FLAIR MR image.
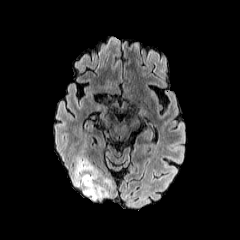
T1-weighted magnetic resonance.
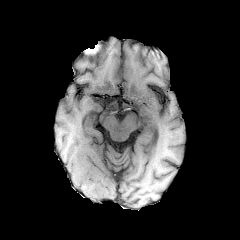
Post-contrast T1-weighted MR image.
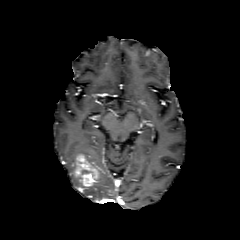
T2-weighted magnetic resonance.
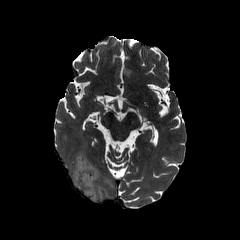
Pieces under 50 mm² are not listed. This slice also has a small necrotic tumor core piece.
{
  "enhancing_tumor": [
    {"x1": 75, "y1": 154, "x2": 99, "y2": 190}
  ],
  "peritumoral_edema": [
    {"x1": 83, "y1": 182, "x2": 107, "y2": 200},
    {"x1": 73, "y1": 156, "x2": 81, "y2": 186}
  ]
}